FLAIR MR image.
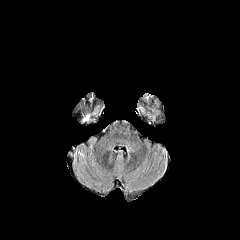
T1-weighted MR.
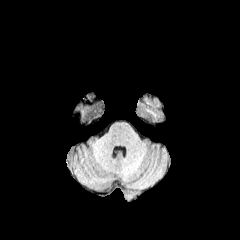
Post-contrast T1-weighted MRI.
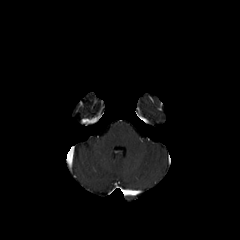
T2-weighted magnetic resonance.
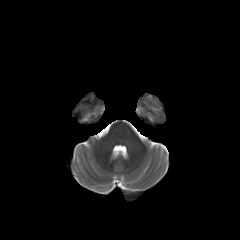
Head
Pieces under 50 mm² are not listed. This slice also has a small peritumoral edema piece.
Segmented structures:
• enhancing tumor: <box>82,118,95,123</box>